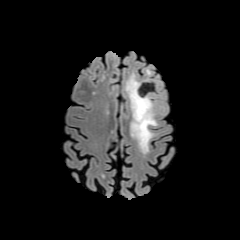
FLAIR MR image.
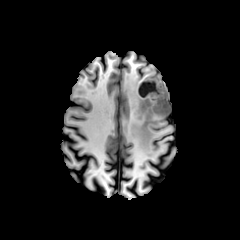
Same slice, T1-weighted MR image.
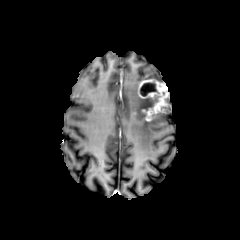
Post-contrast T1-weighted MR image of the same slice.
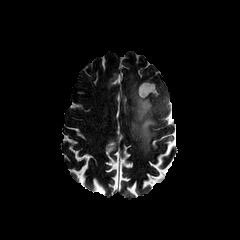
Same slice, T2-weighted MR.
Axial slice.
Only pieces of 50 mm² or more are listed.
necrotic tumor core = left=141, top=83, right=154, bottom=95
peritumoral edema = left=125, top=73, right=164, bottom=152
enhancing tumor = left=138, top=79, right=168, bottom=121